Axial slice. Slice index 110.
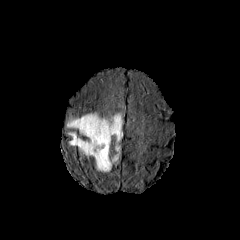
FLAIR MR image.
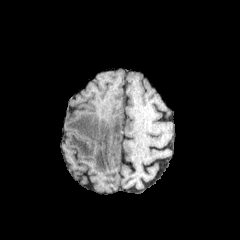
Same slice, T1-weighted MR image.
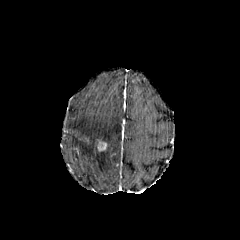
Post-contrast T1-weighted MRI.
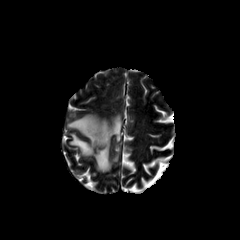
T2-weighted MR.
Findings:
* peritumoral edema: region(66, 111, 123, 172)
* enhancing tumor: region(97, 139, 107, 151)